FLAIR MR image.
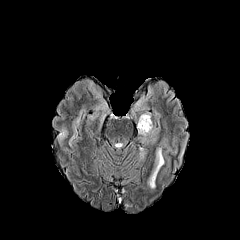
T1-weighted MR image.
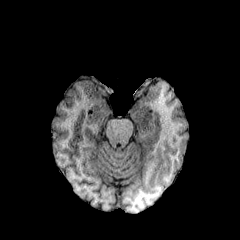
Post-contrast T1-weighted MRI.
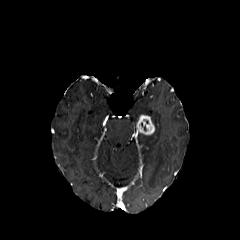
T2-weighted MR.
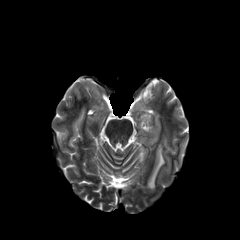
Image size 240x240 | Head
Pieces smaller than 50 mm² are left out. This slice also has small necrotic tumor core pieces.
{"enhancing_tumor": ["x1=137, y1=115, x2=155, y2=135"], "peritumoral_edema": ["x1=148, y1=147, x2=164, y2=188"]}